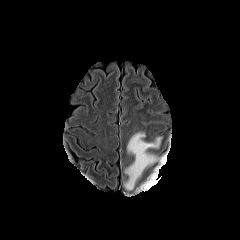
FLAIR magnetic resonance.
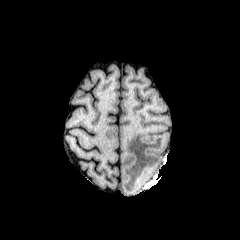
T1-weighted magnetic resonance.
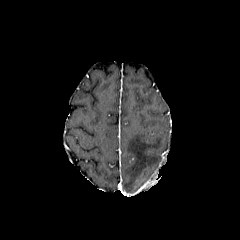
Post-contrast T1-weighted MRI.
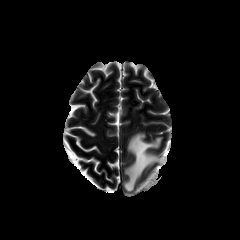
T2-weighted MR of the same slice.
Axial view | Image size 240x240
peritumoral edema at bbox(124, 131, 163, 190)